Slice 82 of 155; Head; Image width 240 mm, 1.00 mm slice spacing
FLAIR MR image.
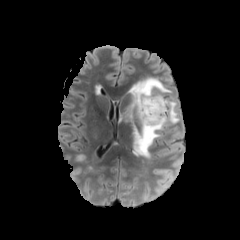
T1-weighted magnetic resonance.
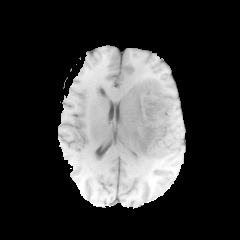
Post-contrast T1-weighted magnetic resonance.
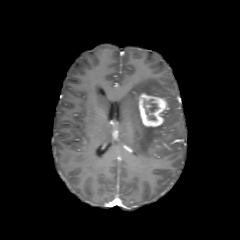
T2-weighted MR.
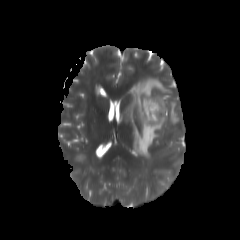
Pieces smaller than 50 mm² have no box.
necrotic tumor core at 149, 103, 157, 112
enhancing tumor at 138, 93, 169, 126
peritumoral edema at 126, 77, 179, 158